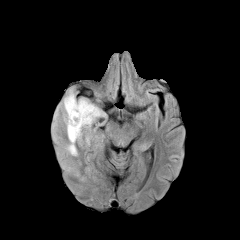
FLAIR MR.
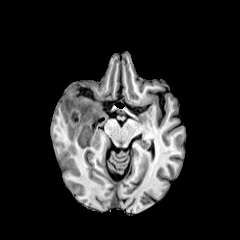
T1-weighted MRI of the same slice.
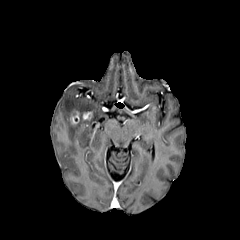
Post-contrast T1-weighted MR image.
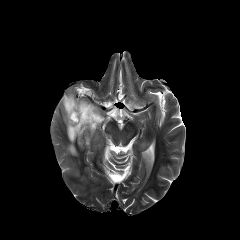
T2-weighted MR.
Head
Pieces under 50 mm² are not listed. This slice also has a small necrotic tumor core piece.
* enhancing tumor: <bbox>82, 111, 92, 120</bbox>, <bbox>70, 111, 79, 124</bbox>
* peritumoral edema: <bbox>92, 134, 100, 149</bbox>, <bbox>54, 89, 105, 156</bbox>